Image width 240 mm, 1.00 mm slice spacing, Head
FLAIR MRI.
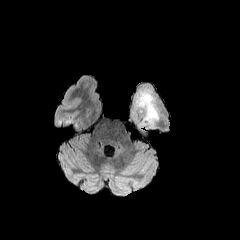
T1-weighted MRI.
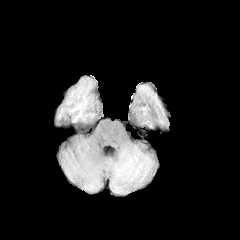
Post-contrast T1-weighted MR image.
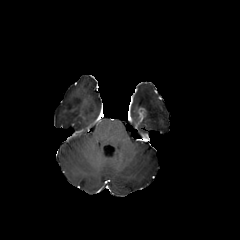
T2-weighted magnetic resonance.
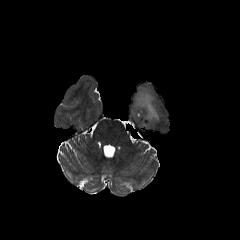
Findings:
- enhancing tumor: box=[137, 107, 147, 123]
- peritumoral edema: box=[134, 88, 159, 126]